FLAIR MRI.
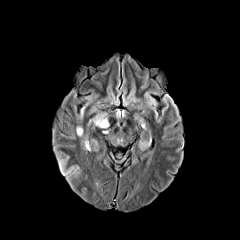
T1-weighted MR.
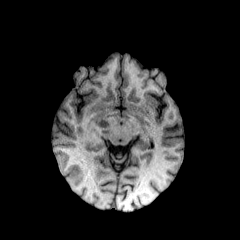
Post-contrast T1-weighted magnetic resonance.
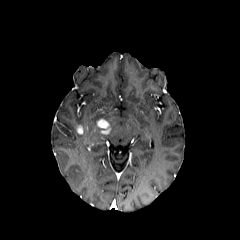
T2-weighted MRI.
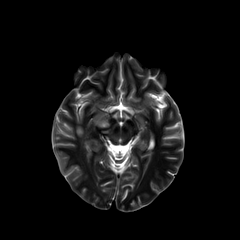
240x240, Axial view, Brain
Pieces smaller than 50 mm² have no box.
The largest peritumoral edema region is located at 89, 114, 107, 125. The largest enhancing tumor region is bounded by 97, 119, 109, 133.